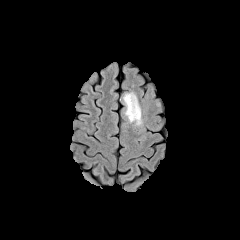
FLAIR MR.
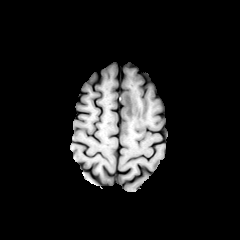
T1-weighted magnetic resonance of the same slice.
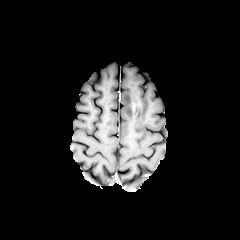
Post-contrast T1-weighted MR.
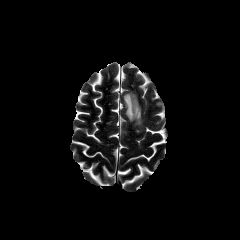
T2-weighted MR.
Axial slice
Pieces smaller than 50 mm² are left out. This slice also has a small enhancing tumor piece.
{"peritumoral_edema": ["[122,91,142,126]"]}